FLAIR MRI.
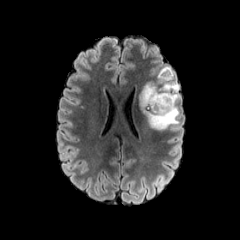
T1-weighted MR image.
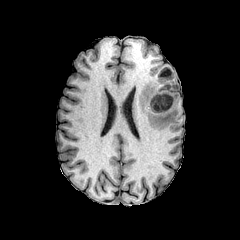
Post-contrast T1-weighted MR.
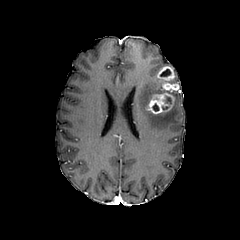
T2-weighted magnetic resonance.
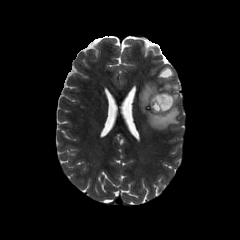
Axial plane. Head.
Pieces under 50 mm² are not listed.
enhancing tumor at box(157, 66, 179, 91); box(145, 93, 174, 115)
peritumoral edema at box(138, 81, 179, 131)
necrotic tumor core at box(160, 69, 171, 76)